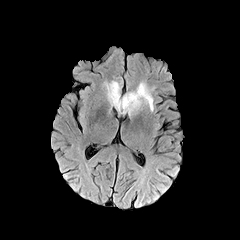
FLAIR magnetic resonance.
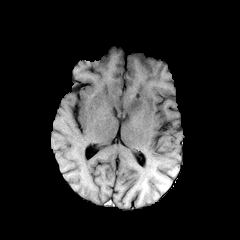
T1-weighted MR image.
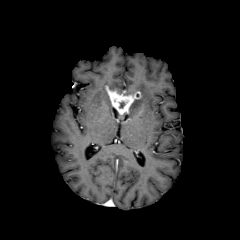
Post-contrast T1-weighted MRI.
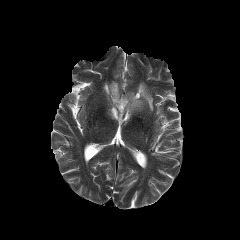
T2-weighted MR image.
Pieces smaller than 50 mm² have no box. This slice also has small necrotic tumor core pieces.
enhancing_tumor:
  - [106,86,141,115]
peritumoral_edema:
  - [104,81,153,115]